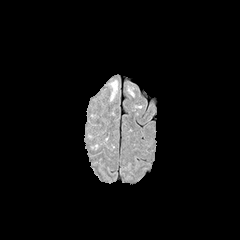
FLAIR MR.
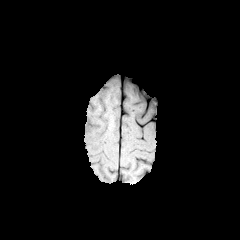
T1-weighted MRI.
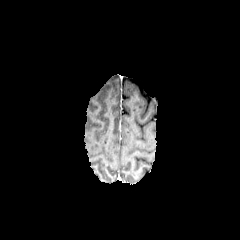
Post-contrast T1-weighted MR image of the same slice.
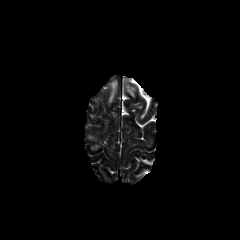
Same slice, T2-weighted MR.
Head | Axial plane
The peritumoral edema is located at (109, 80, 117, 101).